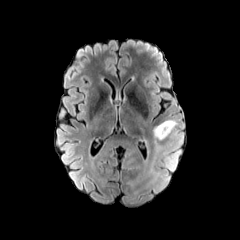
FLAIR magnetic resonance.
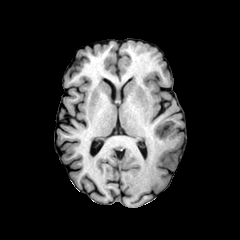
T1-weighted MR image.
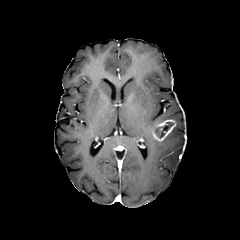
Same slice, post-contrast T1-weighted MR.
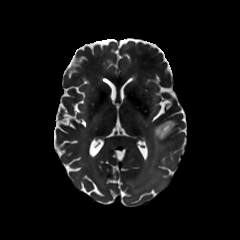
T2-weighted MRI.
Image size 240x240, Head
<segmentation>
  <necrotic_tumor_core>rect(155, 122, 173, 138)</necrotic_tumor_core>
  <peritumoral_edema>rect(151, 139, 167, 174)</peritumoral_edema>
  <enhancing_tumor>rect(152, 119, 176, 141)</enhancing_tumor>
</segmentation>